FLAIR MR image.
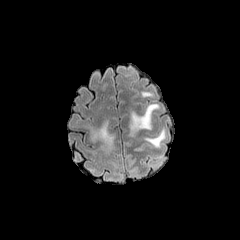
T1-weighted MRI.
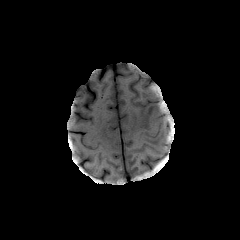
Post-contrast T1-weighted magnetic resonance.
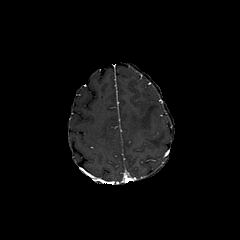
T2-weighted MR.
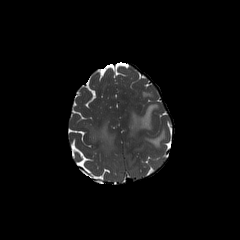
Brain, Image size 240x240
<segmentation>
  <peritumoral_edema>bbox=[91, 121, 114, 146]; bbox=[130, 104, 159, 135]; bbox=[142, 92, 152, 97]; bbox=[145, 129, 165, 147]</peritumoral_edema>
</segmentation>